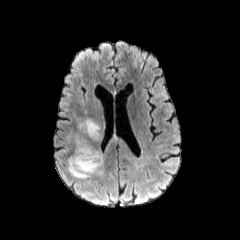
FLAIR MR.
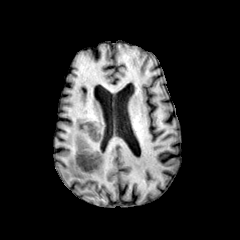
T1-weighted magnetic resonance.
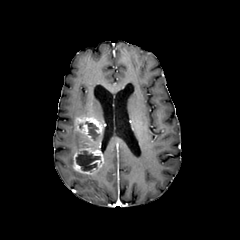
Same slice, post-contrast T1-weighted MR.
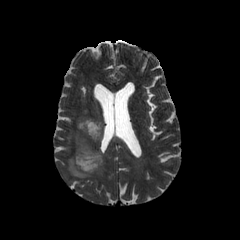
T2-weighted magnetic resonance of the same slice.
Axial view.
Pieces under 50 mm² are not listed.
<segmentation>
  <enhancing_tumor>(73, 117, 104, 174)</enhancing_tumor>
  <necrotic_tumor_core>(76, 150, 100, 171), (85, 121, 98, 138)</necrotic_tumor_core>
  <peritumoral_edema>(75, 135, 81, 152), (109, 137, 123, 143), (68, 156, 91, 178)</peritumoral_edema>
</segmentation>